FLAIR magnetic resonance.
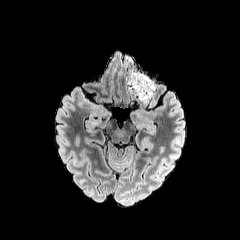
T1-weighted MR image.
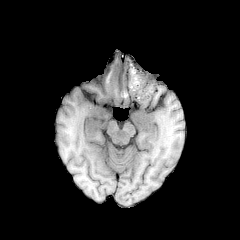
Post-contrast T1-weighted magnetic resonance.
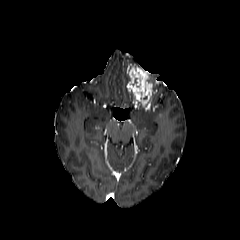
T2-weighted magnetic resonance.
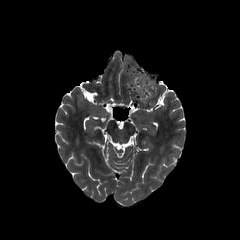
Axial plane; Brain
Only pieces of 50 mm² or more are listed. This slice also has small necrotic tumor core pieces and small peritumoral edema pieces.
- enhancing tumor: 127 67 153 106